Axial plane; Brain; Image covers 240 mm x 240 mm; Image size 240x240; Slice 64 of 155
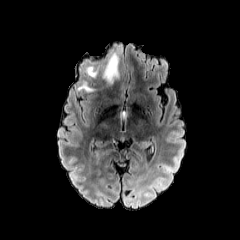
FLAIR magnetic resonance.
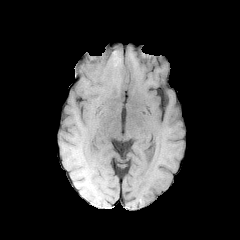
T1-weighted MRI.
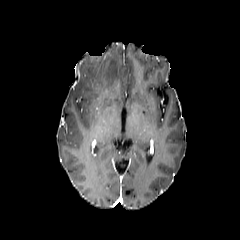
Post-contrast T1-weighted MRI.
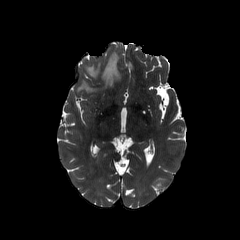
T2-weighted magnetic resonance.
peritumoral_edema:
  - 78, 81, 94, 91
  - 87, 66, 98, 77
  - 102, 53, 120, 85